FLAIR MR.
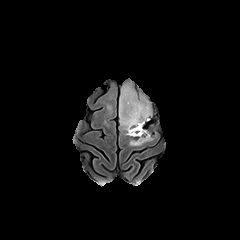
T1-weighted MRI.
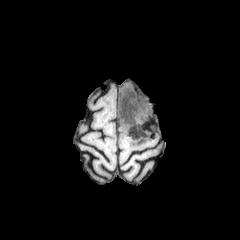
Post-contrast T1-weighted magnetic resonance.
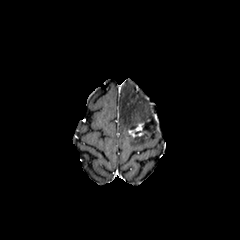
T2-weighted MR.
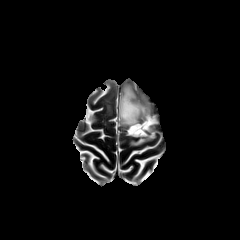
Brain.
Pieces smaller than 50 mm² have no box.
<segmentation>
  <enhancing_tumor>(x1=128, y1=123, x2=144, y2=137)</enhancing_tumor>
  <peritumoral_edema>(x1=129, y1=130, x2=152, y2=145), (x1=119, y1=83, x2=151, y2=134)</peritumoral_edema>
  <necrotic_tumor_core>(x1=122, y1=93, x2=139, y2=120)</necrotic_tumor_core>
</segmentation>